Image size 240x240
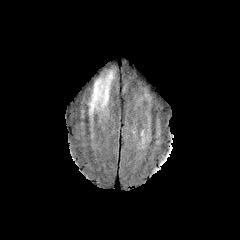
FLAIR MR image.
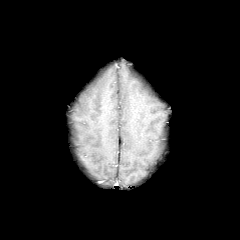
Same slice, T1-weighted MRI.
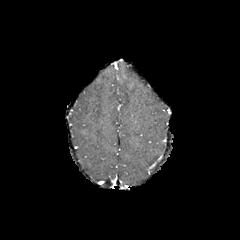
Post-contrast T1-weighted magnetic resonance.
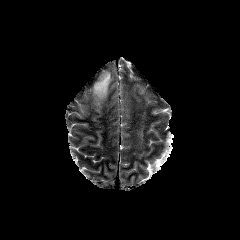
T2-weighted MR of the same slice.
peritumoral edema: x1=91, y1=72, x2=112, y2=108